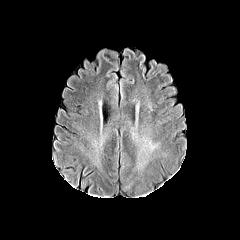
FLAIR MRI.
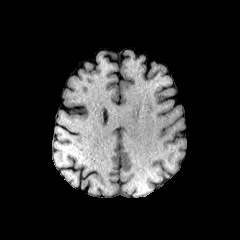
T1-weighted magnetic resonance.
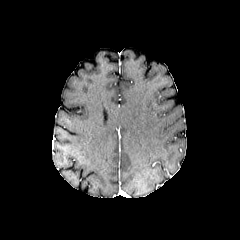
Post-contrast T1-weighted MR image of the same slice.
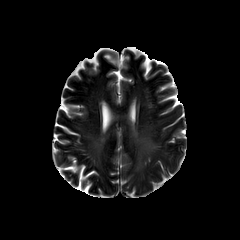
T2-weighted MR of the same slice.
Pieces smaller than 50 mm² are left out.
{
  "peritumoral_edema": [
    "<bbox>143, 140, 160, 151</bbox>"
  ]
}